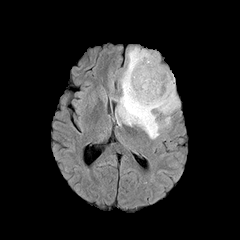
FLAIR MR image.
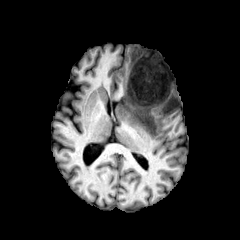
Same slice, T1-weighted MR image.
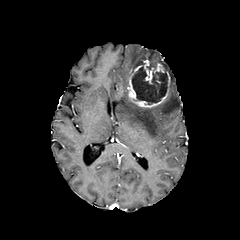
Post-contrast T1-weighted MR of the same slice.
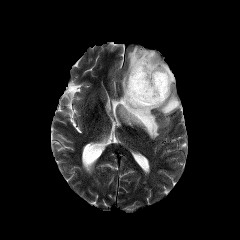
T2-weighted MR image.
Axial slice.
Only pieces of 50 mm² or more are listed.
<segmentation>
  <peritumoral_edema>region(117, 46, 179, 138)</peritumoral_edema>
  <necrotic_tumor_core>region(132, 56, 167, 104)</necrotic_tumor_core>
  <enhancing_tumor>region(127, 54, 170, 107)</enhancing_tumor>
</segmentation>